Slice index 42
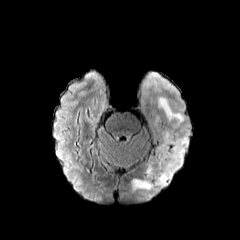
FLAIR MR image.
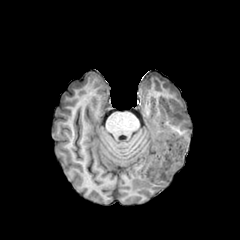
T1-weighted MR.
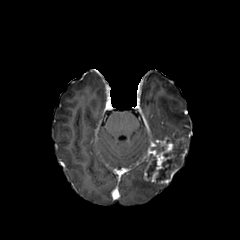
Post-contrast T1-weighted magnetic resonance.
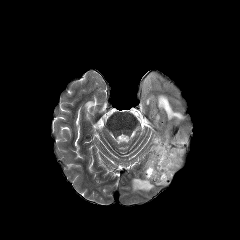
T2-weighted MR image.
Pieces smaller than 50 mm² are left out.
Segmented structures:
• peritumoral edema: (131,178,167,191), (158,130,188,148), (158,97,184,125)
• enhancing tumor: (143,136,186,184)
• necrotic tumor core: (147,157,156,177), (163,141,183,157), (156,159,177,181)